FLAIR MRI.
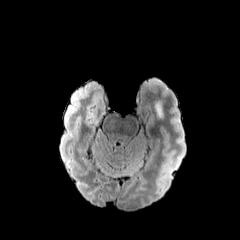
T1-weighted MRI.
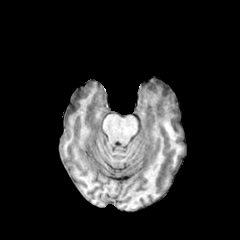
Post-contrast T1-weighted magnetic resonance.
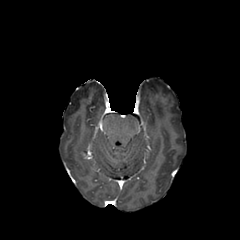
T2-weighted magnetic resonance.
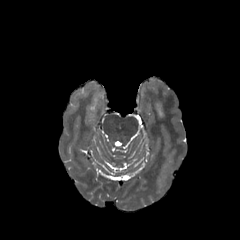
240x240 px. Axial slice. Brain.
The peritumoral edema is bounded by rect(155, 102, 163, 117).